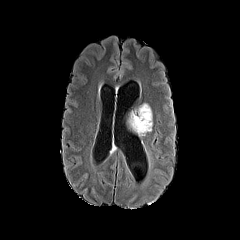
FLAIR MRI.
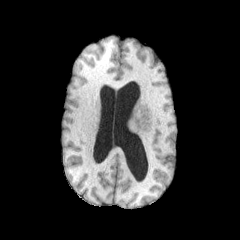
T1-weighted MRI of the same slice.
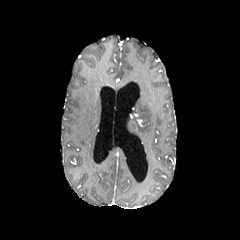
Post-contrast T1-weighted magnetic resonance.
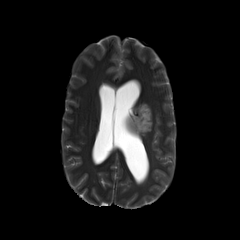
T2-weighted MR image.
Head
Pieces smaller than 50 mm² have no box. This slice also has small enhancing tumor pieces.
The peritumoral edema appears at (130, 103, 152, 135).